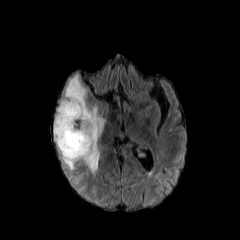
FLAIR MR image.
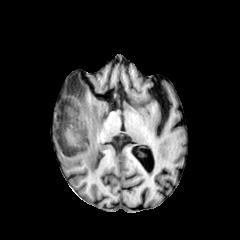
T1-weighted magnetic resonance.
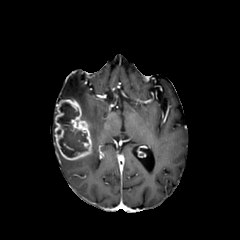
Post-contrast T1-weighted MRI of the same slice.
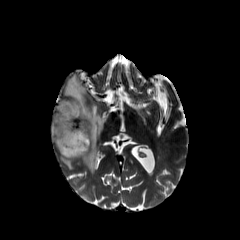
Same slice, T2-weighted MR image.
Axial plane
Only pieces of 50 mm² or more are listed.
{"peritumoral_edema": ["box=[61, 74, 105, 174]"], "necrotic_tumor_core": ["box=[57, 102, 87, 157]"], "enhancing_tumor": ["box=[54, 99, 91, 160]"]}